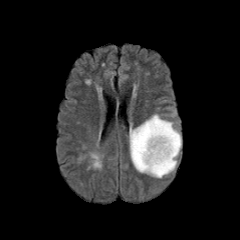
FLAIR MRI.
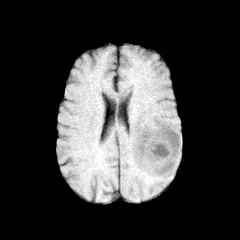
T1-weighted MR image.
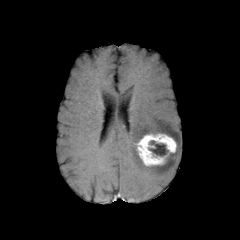
Post-contrast T1-weighted MRI.
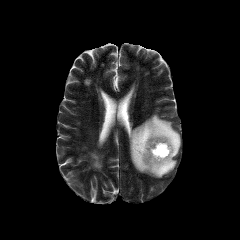
Same slice, T2-weighted magnetic resonance.
Brain; Axial view
The peritumoral edema is located at (x1=129, y1=114, x2=181, y2=178). The enhancing tumor is bounded by (x1=135, y1=132, x2=177, y2=166). The necrotic tumor core is located at (x1=149, y1=141, x2=168, y2=156).